FLAIR MRI.
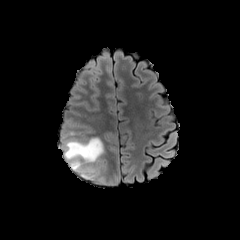
T1-weighted MR image.
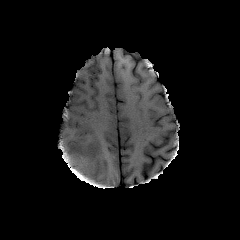
Post-contrast T1-weighted MR.
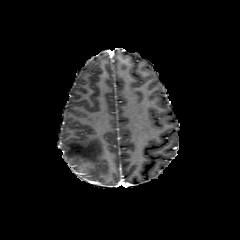
T2-weighted MRI.
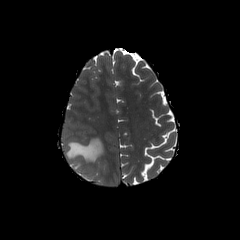
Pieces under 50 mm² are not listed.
enhancing_tumor:
  - (x1=73, y1=164, x2=86, y2=177)
peritumoral_edema:
  - (x1=64, y1=137, x2=103, y2=180)